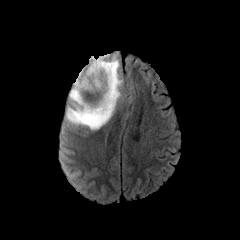
FLAIR magnetic resonance.
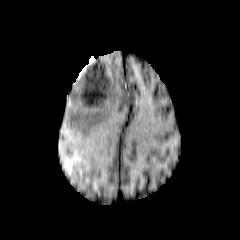
T1-weighted magnetic resonance of the same slice.
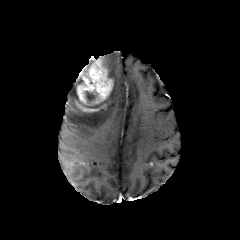
Same slice, post-contrast T1-weighted magnetic resonance.
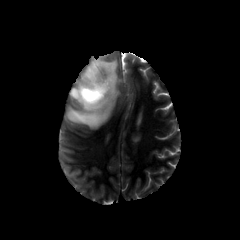
T2-weighted MR image.
Brain, 240x240 px
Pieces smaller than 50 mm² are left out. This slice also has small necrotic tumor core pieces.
peritumoral edema: 66,54,123,128
enhancing tumor: 74,56,113,112